FLAIR magnetic resonance.
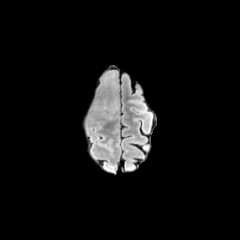
T1-weighted magnetic resonance.
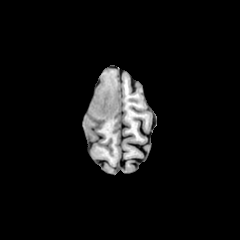
Post-contrast T1-weighted MR.
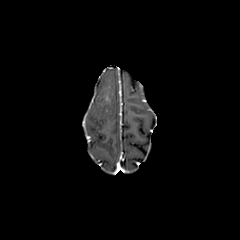
T2-weighted MR image.
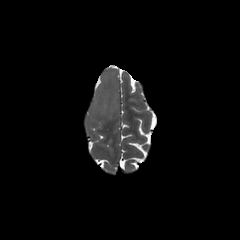
240x240 px, Head, Axial slice
enhancing tumor = x1=104 y1=91 x2=110 y2=105